FLAIR magnetic resonance.
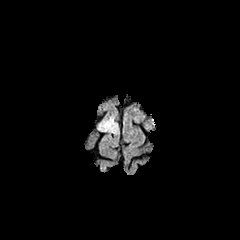
T1-weighted MR.
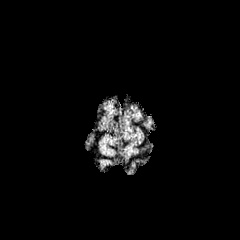
Post-contrast T1-weighted MR.
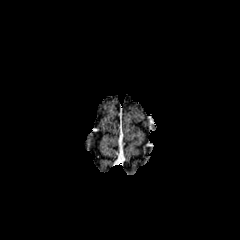
T2-weighted MR.
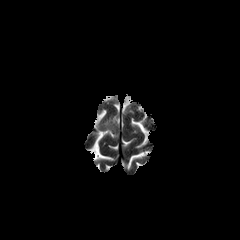
Head. 240x240 px.
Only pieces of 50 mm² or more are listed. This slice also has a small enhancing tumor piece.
peritumoral edema: 99,116,118,133